FLAIR MRI.
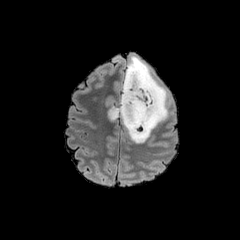
T1-weighted MRI.
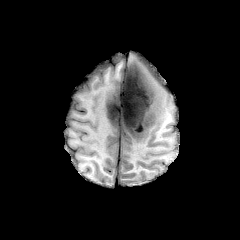
Post-contrast T1-weighted magnetic resonance.
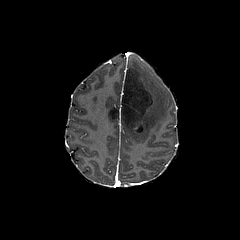
T2-weighted MRI.
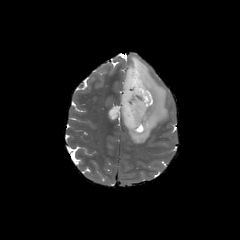
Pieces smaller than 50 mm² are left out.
necrotic tumor core: (109,66,153,135) | peritumoral edema: (129,56,167,143)